FLAIR MRI.
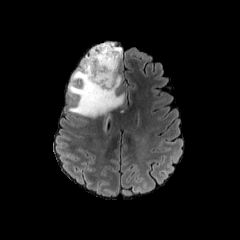
T1-weighted MRI.
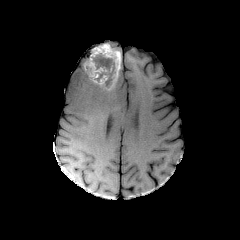
Post-contrast T1-weighted magnetic resonance.
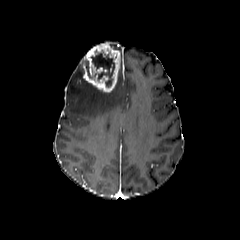
T2-weighted MR image.
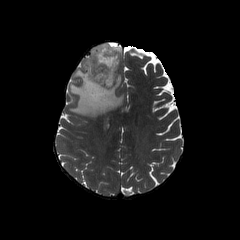
Brain. Axial plane.
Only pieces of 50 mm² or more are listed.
necrotic tumor core: x1=91 y1=49 x2=114 y2=86, x1=86 y1=61 x2=92 y2=79 | peritumoral edema: x1=108 y1=42 x2=121 y2=57, x1=69 y1=64 x2=124 y2=118 | enhancing tumor: x1=81 y1=42 x2=120 y2=92